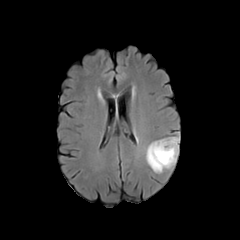
FLAIR magnetic resonance.
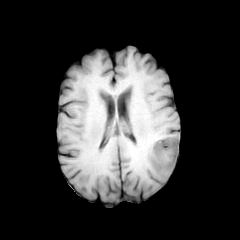
T1-weighted MR image.
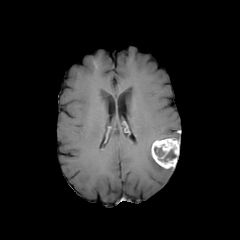
Post-contrast T1-weighted MRI of the same slice.
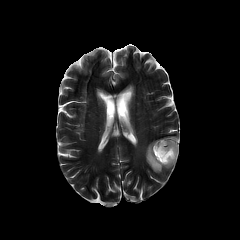
T2-weighted MR image.
Brain | Image size 240x240
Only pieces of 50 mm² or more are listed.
Findings:
* enhancing tumor: <bbox>151, 138, 179, 168</bbox>
* peritumoral edema: <bbox>145, 142, 169, 173</bbox>
* necrotic tumor core: <bbox>159, 150, 175, 161</bbox>, <bbox>154, 147, 164, 157</bbox>